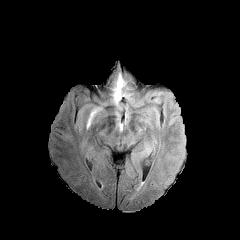
FLAIR MRI.
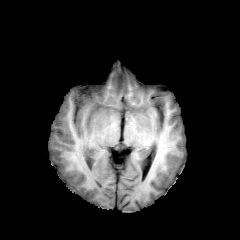
T1-weighted MR image of the same slice.
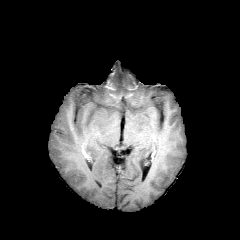
Post-contrast T1-weighted MR.
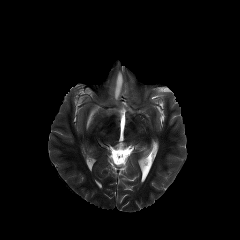
T2-weighted MRI of the same slice.
Head, Axial slice
peritumoral_edema:
  - rect(87, 108, 98, 125)
  - rect(113, 72, 125, 104)